Axial plane; Image covers 240 mm x 240 mm
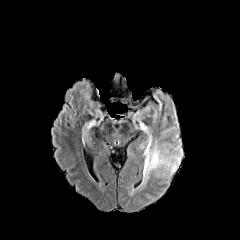
FLAIR MR image.
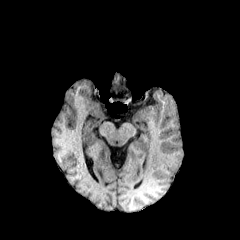
T1-weighted MR image.
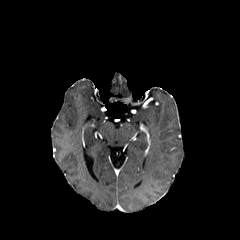
Post-contrast T1-weighted MR.
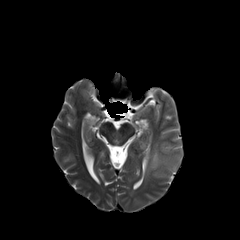
Same slice, T2-weighted magnetic resonance.
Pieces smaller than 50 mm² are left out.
{
  "peritumoral_edema": [
    "143:139:182:179"
  ]
}